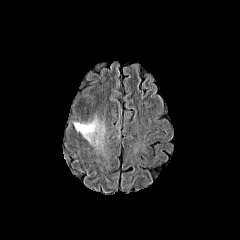
FLAIR MR image.
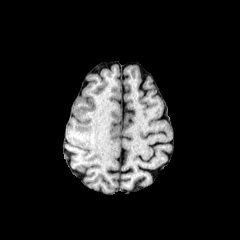
T1-weighted MR.
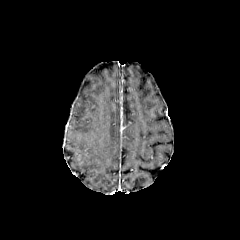
Post-contrast T1-weighted MR.
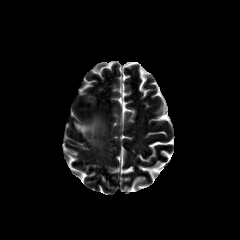
T2-weighted MR of the same slice.
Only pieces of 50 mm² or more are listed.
The largest peritumoral edema region is located at 74 119 104 142.